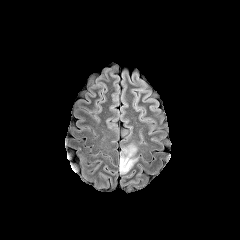
FLAIR MR.
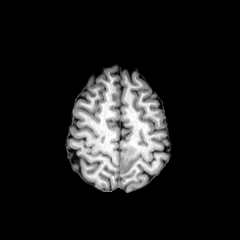
Same slice, T1-weighted magnetic resonance.
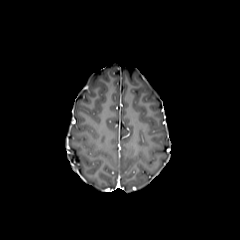
Same slice, post-contrast T1-weighted magnetic resonance.
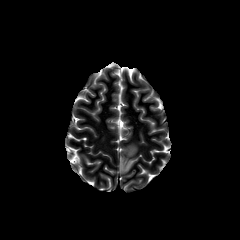
T2-weighted MRI.
Brain, 240x240
Findings:
* peritumoral edema: box(120, 143, 138, 174)